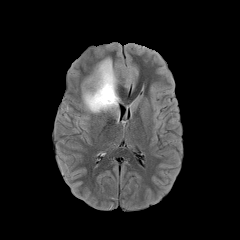
FLAIR MR image.
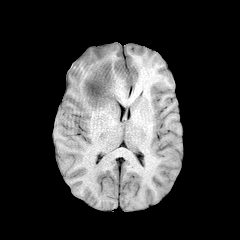
Same slice, T1-weighted MR image.
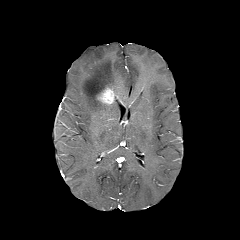
Same slice, post-contrast T1-weighted MRI.
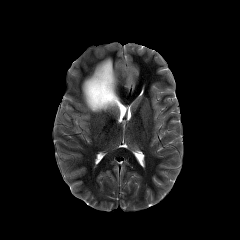
T2-weighted MR of the same slice.
Head
Segmented structures:
* peritumoral edema: box(82, 58, 119, 112)
* enhancing tumor: box(96, 86, 117, 105)